Head | Slice 58 of 155 | Image size 240x240
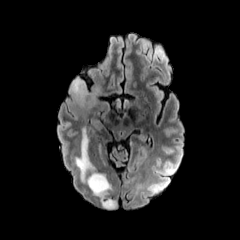
FLAIR MR image.
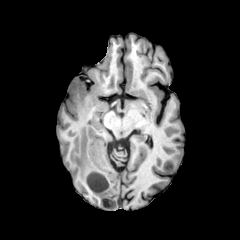
T1-weighted magnetic resonance.
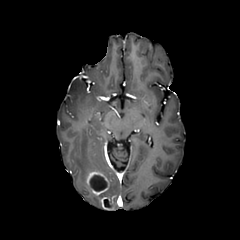
Post-contrast T1-weighted MRI of the same slice.
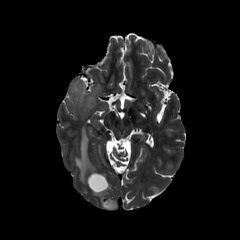
Same slice, T2-weighted MR image.
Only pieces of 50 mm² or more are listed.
Findings:
- necrotic tumor core: 90:175:106:191, 104:199:111:207
- peritumoral edema: 96:182:112:198, 75:128:96:182, 69:77:101:109
- enhancing tumor: 86:171:109:195, 100:197:114:209